Slice 127/155; Axial view; Image covers 240 mm x 240 mm; Brain
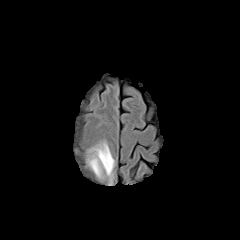
FLAIR magnetic resonance.
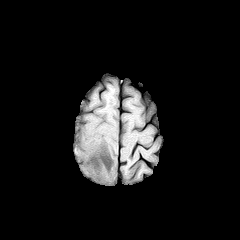
T1-weighted MR.
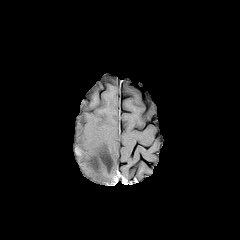
Post-contrast T1-weighted MRI.
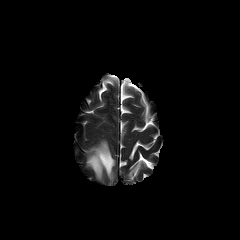
T2-weighted MRI of the same slice.
{
  "peritumoral_edema": [
    "87, 141, 114, 179"
  ]
}